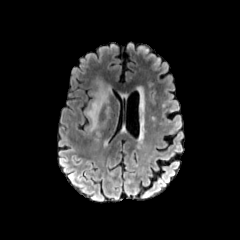
FLAIR MR.
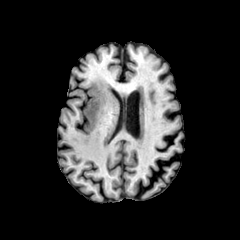
Same slice, T1-weighted magnetic resonance.
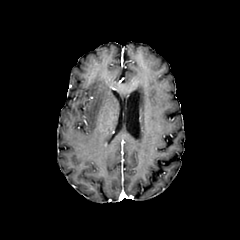
Post-contrast T1-weighted MR image of the same slice.
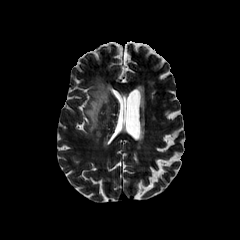
T2-weighted MR.
Axial slice.
Findings:
* peritumoral edema: box(85, 80, 111, 130)